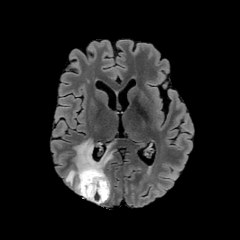
FLAIR MR image.
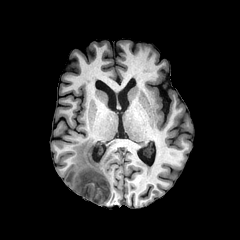
T1-weighted MR image.
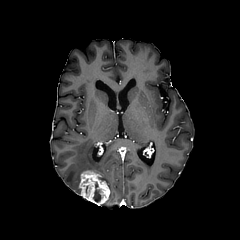
Same slice, post-contrast T1-weighted MRI.
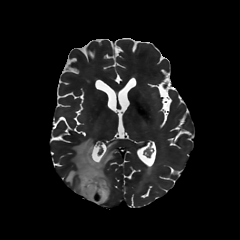
T2-weighted MRI.
Axial slice; Image size 240x240
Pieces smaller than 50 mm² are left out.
{
  "necrotic_tumor_core": [
    "(93, 182, 101, 202)"
  ],
  "peritumoral_edema": [
    "(64, 139, 113, 194)"
  ],
  "enhancing_tumor": [
    "(78, 170, 109, 205)"
  ]
}